Brain.
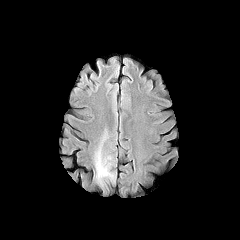
FLAIR MR.
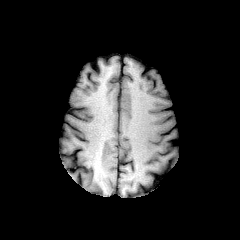
Same slice, T1-weighted MR.
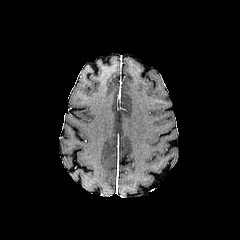
Post-contrast T1-weighted MR of the same slice.
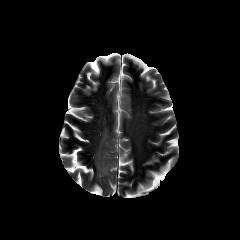
T2-weighted MR image.
The peritumoral edema is at box=[96, 152, 111, 178].